FLAIR MRI.
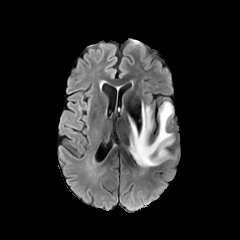
T1-weighted MR.
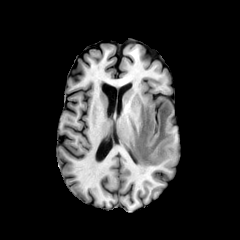
Post-contrast T1-weighted MR image.
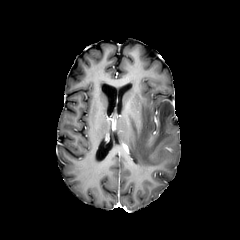
T2-weighted magnetic resonance.
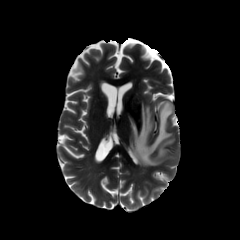
Brain
The peritumoral edema appears at [129,101,173,167].